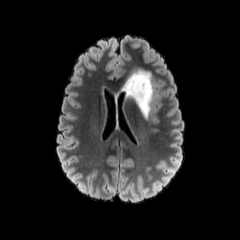
FLAIR MR.
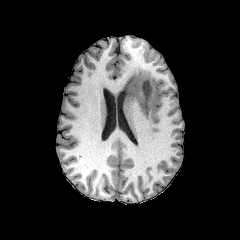
T1-weighted MR of the same slice.
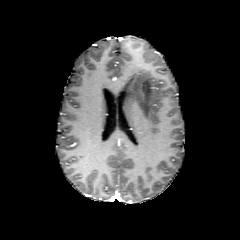
Same slice, post-contrast T1-weighted MRI.
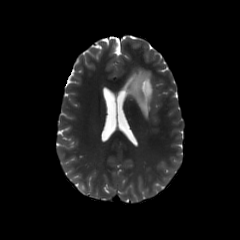
T2-weighted MR image of the same slice.
Image size 240x240, Axial slice
peritumoral edema — <box>122,69,153,118</box>